FLAIR magnetic resonance.
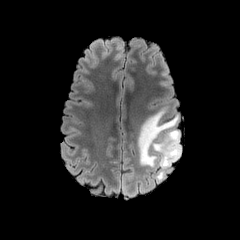
T1-weighted MR image.
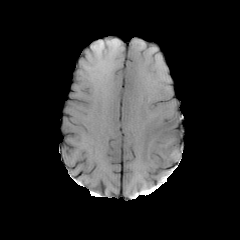
Post-contrast T1-weighted MR.
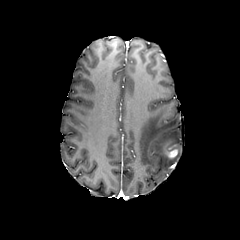
T2-weighted MR.
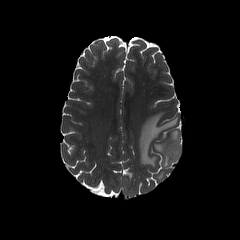
The enhancing tumor is at [165, 147, 178, 158]. The peritumoral edema lies within [137, 107, 181, 181].